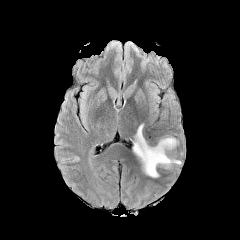
FLAIR MR.
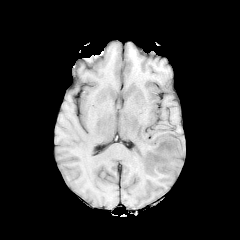
T1-weighted MR image.
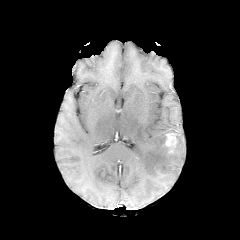
Same slice, post-contrast T1-weighted magnetic resonance.
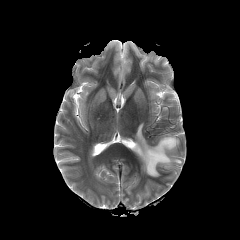
T2-weighted MRI.
Axial view
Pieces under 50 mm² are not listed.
- peritumoral edema: [133, 124, 181, 177]
- enhancing tumor: [163, 133, 177, 152]